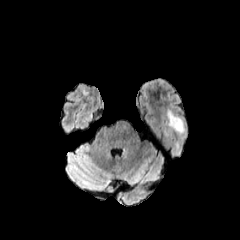
FLAIR MR.
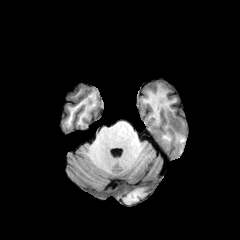
Same slice, T1-weighted MRI.
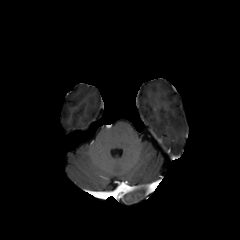
Same slice, post-contrast T1-weighted MR.
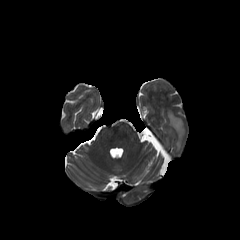
Same slice, T2-weighted MR.
240x240; Head
The peritumoral edema appears at l=167, t=109, r=184, b=152.